FLAIR magnetic resonance.
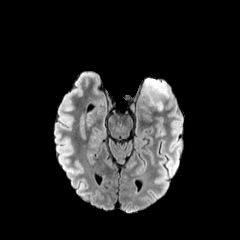
T1-weighted magnetic resonance.
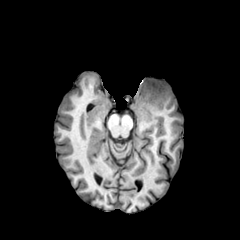
Post-contrast T1-weighted MR.
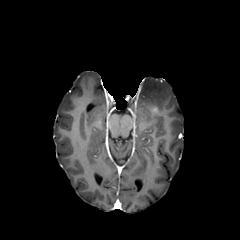
T2-weighted MR image.
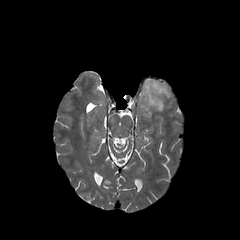
Head
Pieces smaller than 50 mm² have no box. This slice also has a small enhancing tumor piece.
{
  "peritumoral_edema": [
    "<box>140,78,169,110</box>"
  ]
}